Slice 74 of 155; Axial view
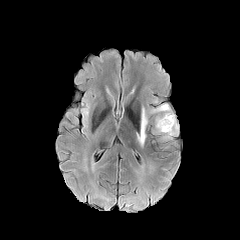
FLAIR MR image.
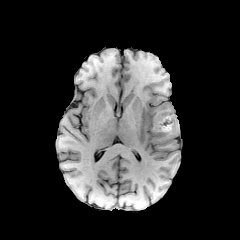
Same slice, T1-weighted magnetic resonance.
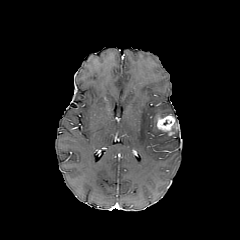
Post-contrast T1-weighted MR image.
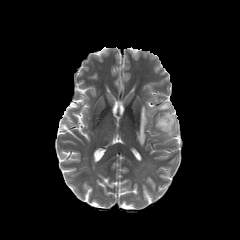
Same slice, T2-weighted MRI.
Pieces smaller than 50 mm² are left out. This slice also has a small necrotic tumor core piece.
peritumoral edema = l=137, t=107, r=148, b=146; l=150, t=103, r=178, b=135
enhancing tumor = l=156, t=114, r=176, b=135